Head | 240x240 | Slice 119/155 | Axial plane
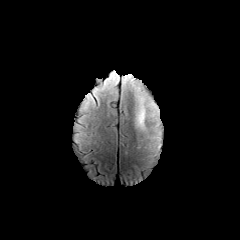
FLAIR MR image.
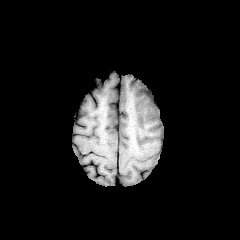
T1-weighted MR image.
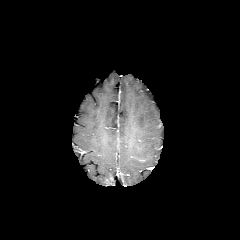
Post-contrast T1-weighted MR.
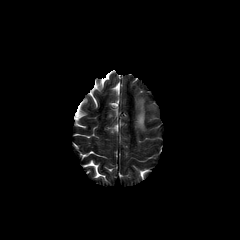
T2-weighted magnetic resonance of the same slice.
peritumoral edema = (left=148, top=103, right=158, bottom=115), (left=136, top=97, right=145, bottom=130)